Image width 240 mm, 1.00 mm slice spacing | Axial view | Head
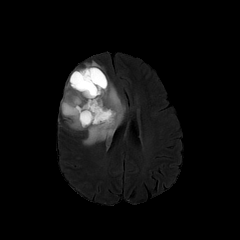
FLAIR MR image.
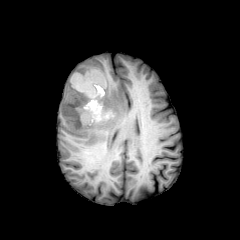
T1-weighted magnetic resonance.
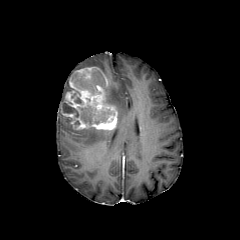
Same slice, post-contrast T1-weighted MRI.
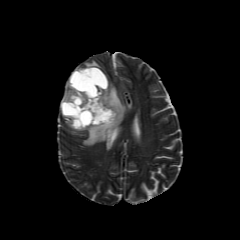
Same slice, T2-weighted MRI.
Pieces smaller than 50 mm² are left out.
peritumoral edema — box=[60, 80, 73, 109]; box=[63, 81, 126, 145]; box=[84, 60, 104, 73]
enhancing tumor — box=[61, 67, 117, 130]
necrotic tumor core — box=[94, 112, 110, 123]; box=[81, 106, 94, 124]; box=[72, 69, 105, 93]; box=[62, 102, 79, 117]